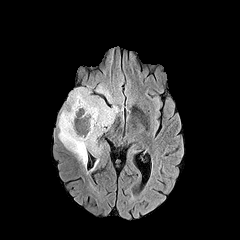
FLAIR MR.
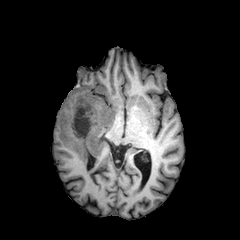
T1-weighted MR.
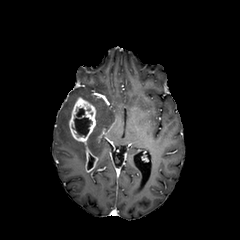
Post-contrast T1-weighted MR image.
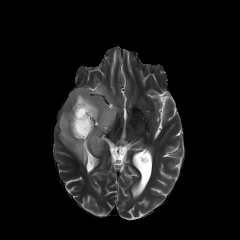
T2-weighted MR.
Brain. Axial view.
necrotic tumor core: {"x1": 73, "y1": 108, "x2": 91, "y2": 136} | enhancing tumor: {"x1": 69, "y1": 97, "x2": 96, "y2": 144}, {"x1": 86, "y1": 147, "x2": 97, "y2": 172} | peritumoral edema: {"x1": 96, "y1": 85, "x2": 113, "y2": 103}, {"x1": 58, "y1": 87, "x2": 118, "y2": 165}